FLAIR MRI.
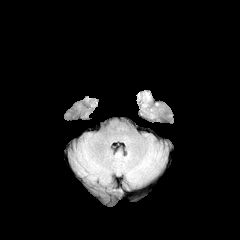
T1-weighted magnetic resonance.
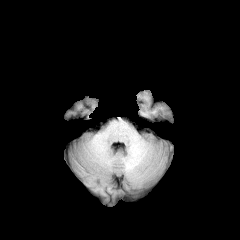
Post-contrast T1-weighted MR image.
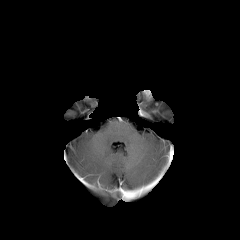
T2-weighted MR image.
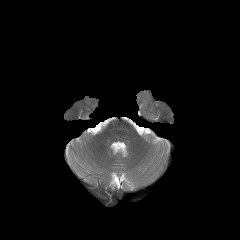
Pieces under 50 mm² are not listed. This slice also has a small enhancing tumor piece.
The largest peritumoral edema region is at 142 90 151 107.